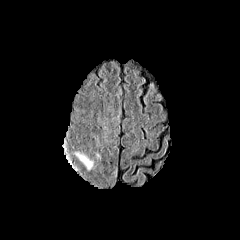
FLAIR MR.
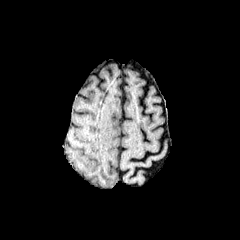
T1-weighted MR image.
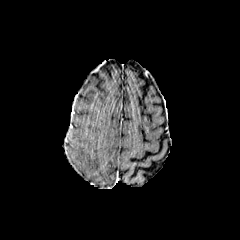
Same slice, post-contrast T1-weighted MR image.
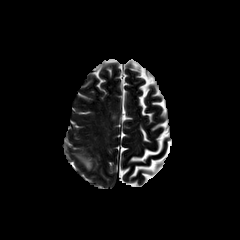
T2-weighted MR image.
Head.
{"peritumoral_edema": ["(left=76, top=153, right=92, bottom=169)"]}